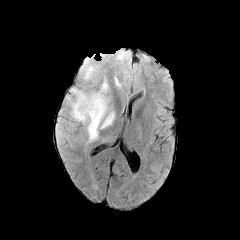
FLAIR MR image.
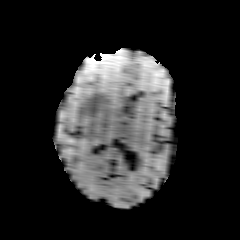
T1-weighted MRI.
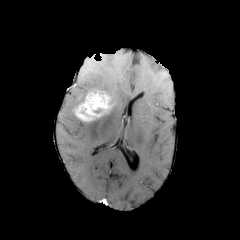
Post-contrast T1-weighted magnetic resonance of the same slice.
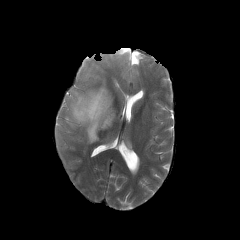
T2-weighted MRI of the same slice.
Head; Image size 240x240
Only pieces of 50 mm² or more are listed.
The 2 largest peritumoral edema regions appear at rect(71, 92, 86, 121); rect(87, 109, 114, 141). The enhancing tumor is bounded by rect(75, 90, 112, 121).